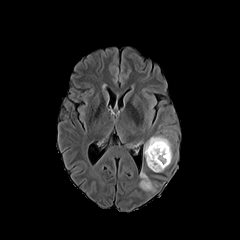
FLAIR MRI.
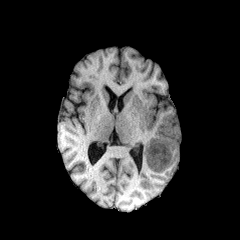
T1-weighted MRI of the same slice.
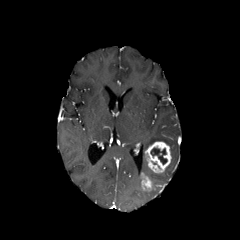
Post-contrast T1-weighted MRI.
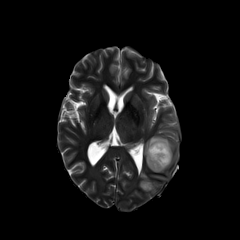
Same slice, T2-weighted magnetic resonance.
Axial slice
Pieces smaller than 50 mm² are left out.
<segmentation>
  <enhancing_tumor>141:173:155:190, 145:141:171:172</enhancing_tumor>
  <peritumoral_edema>144:135:172:159</peritumoral_edema>
  <necrotic_tumor_core>151:148:167:164</necrotic_tumor_core>
</segmentation>